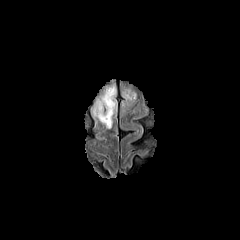
FLAIR magnetic resonance.
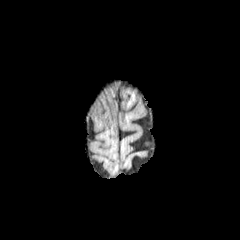
T1-weighted MR.
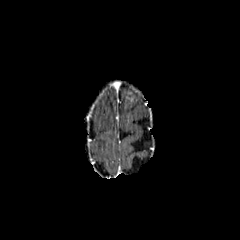
Post-contrast T1-weighted MRI.
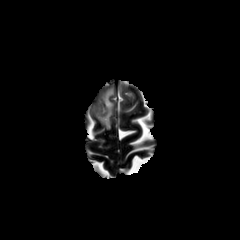
T2-weighted MRI of the same slice.
Brain, Axial plane
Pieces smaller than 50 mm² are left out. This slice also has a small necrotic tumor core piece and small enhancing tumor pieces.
The 2 largest peritumoral edema regions are located at (122,88,131,97), (91,86,117,128).